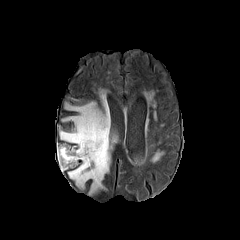
FLAIR MRI.
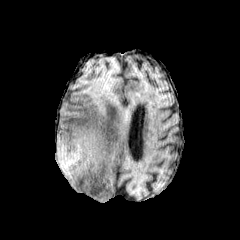
T1-weighted magnetic resonance.
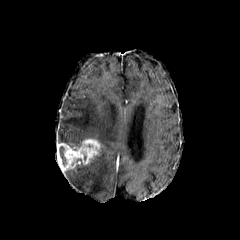
Same slice, post-contrast T1-weighted magnetic resonance.
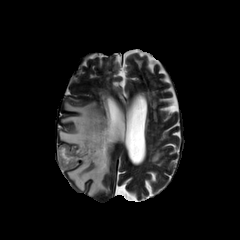
T2-weighted MR image of the same slice.
240x240 px.
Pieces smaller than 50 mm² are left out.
peritumoral_edema:
  - x1=60, y1=92, x2=111, y2=193
enhancing_tumor:
  - x1=58, y1=138, x2=101, y2=170
necrotic_tumor_core:
  - x1=60, y1=146, x2=66, y2=165